Axial plane. Head. Image size 240x240.
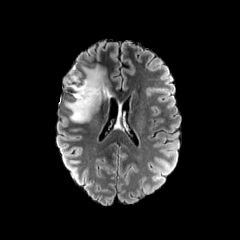
FLAIR MR image.
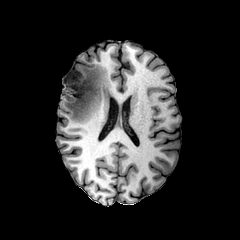
T1-weighted MR.
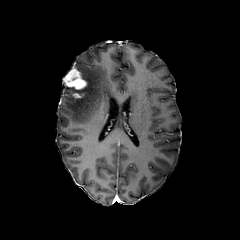
Post-contrast T1-weighted MRI.
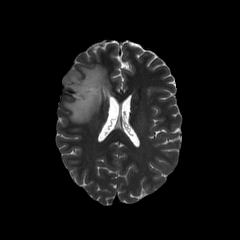
T2-weighted MR image.
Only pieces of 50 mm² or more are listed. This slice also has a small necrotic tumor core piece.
The peritumoral edema appears at 65 66 109 122. 2 enhancing tumor regions are located at 63 65 87 90, 72 92 83 97.